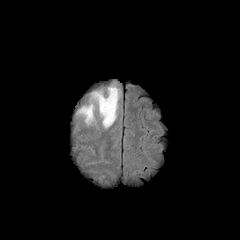
FLAIR magnetic resonance.
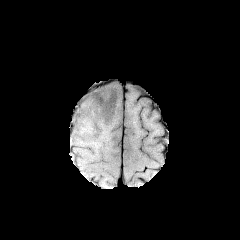
T1-weighted MR image.
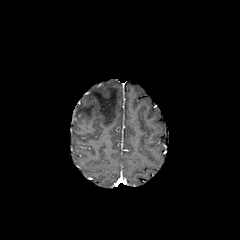
Post-contrast T1-weighted MR image.
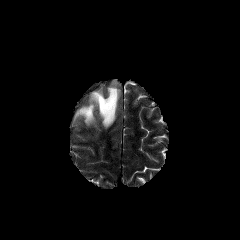
T2-weighted MR.
Axial slice; Image size 240x240; Brain
* peritumoral edema: bbox(77, 85, 120, 128)